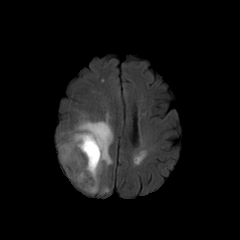
FLAIR MR.
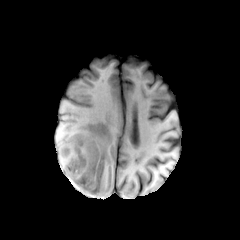
T1-weighted MR.
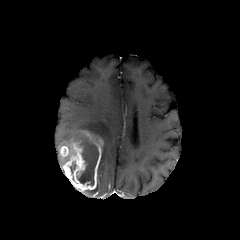
Post-contrast T1-weighted MR image.
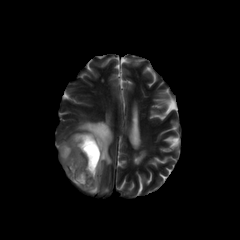
T2-weighted MR image.
Axial plane
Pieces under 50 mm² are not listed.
2 enhancing tumor regions appear at region(62, 131, 103, 191); region(60, 145, 69, 156). The largest necrotic tumor core region lies within region(78, 138, 98, 185). The peritumoral edema lies within region(58, 113, 113, 193).